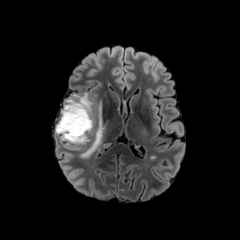
FLAIR MR.
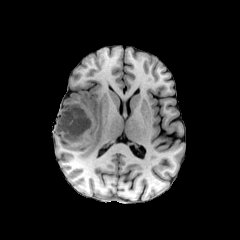
T1-weighted magnetic resonance of the same slice.
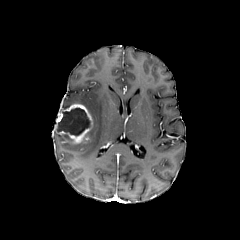
Post-contrast T1-weighted MR.
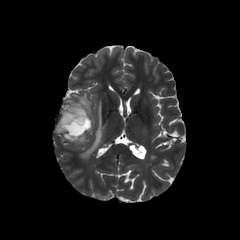
T2-weighted MR.
Axial plane. 240x240.
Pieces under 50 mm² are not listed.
enhancing tumor = rect(55, 103, 93, 143)
peritumoral edema = rect(61, 93, 91, 114); rect(80, 100, 103, 157)
necrotic tumor core = rect(57, 107, 90, 135)